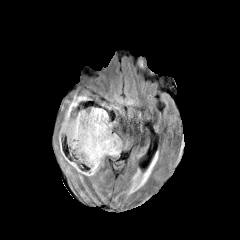
FLAIR magnetic resonance.
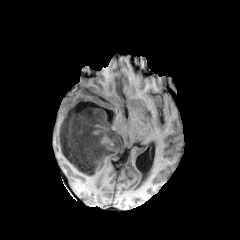
T1-weighted MR.
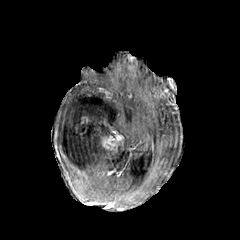
Post-contrast T1-weighted MR image of the same slice.
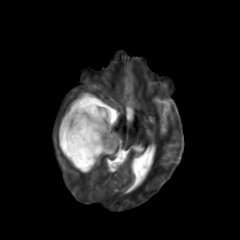
T2-weighted MR.
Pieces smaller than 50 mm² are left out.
enhancing tumor = (102, 133, 122, 149)
necrotic tumor core = (58, 116, 98, 167)
peritumoral edema = (61, 91, 121, 175), (67, 131, 77, 151)